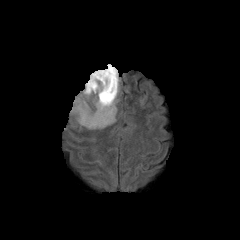
FLAIR MR.
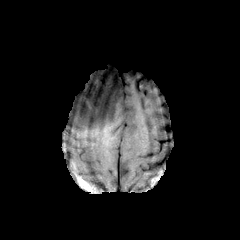
Same slice, T1-weighted MR.
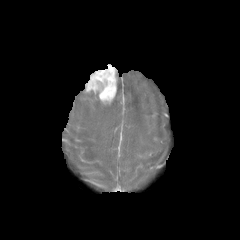
Same slice, post-contrast T1-weighted magnetic resonance.
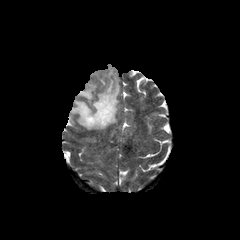
T2-weighted MR image.
Axial slice
peritumoral_edema:
  - (70,70,119,129)
enhancing_tumor:
  - (85,65,117,103)